Axial plane, Image width 240 mm, 1.00 mm slice spacing, 240x240 px
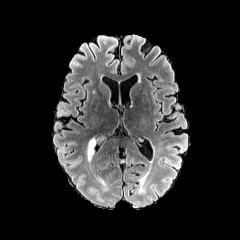
FLAIR MR.
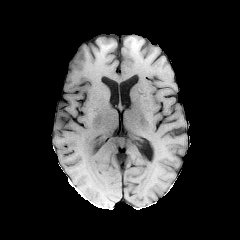
Same slice, T1-weighted magnetic resonance.
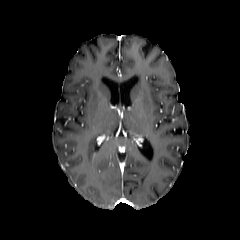
Post-contrast T1-weighted MR image.
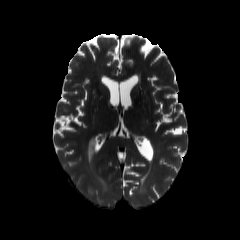
T2-weighted MR of the same slice.
<segmentation>
  <peritumoral_edema>left=87, top=138, right=96, bottom=161</peritumoral_edema>
</segmentation>